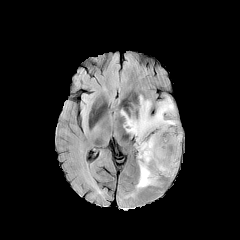
FLAIR MR.
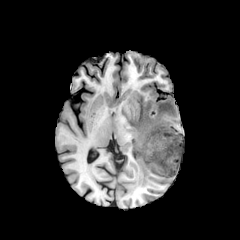
T1-weighted MRI of the same slice.
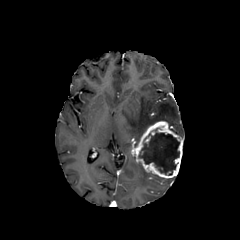
Same slice, post-contrast T1-weighted MR image.
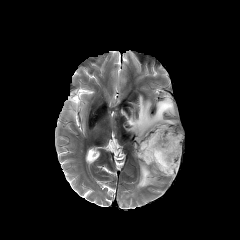
T2-weighted magnetic resonance.
Head
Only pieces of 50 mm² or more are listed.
The enhancing tumor is at 132, 121, 183, 178. The 2 largest peritumoral edema regions appear at 121, 96, 177, 146; 136, 163, 158, 188. The largest necrotic tumor core region is bounded by 139, 132, 179, 175.